Head
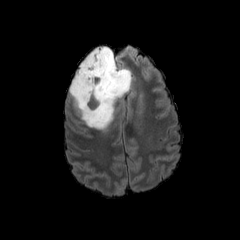
FLAIR MR image.
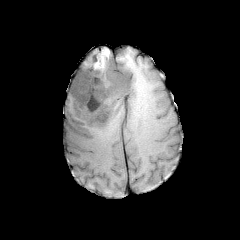
T1-weighted MR of the same slice.
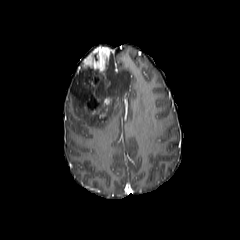
Post-contrast T1-weighted magnetic resonance of the same slice.
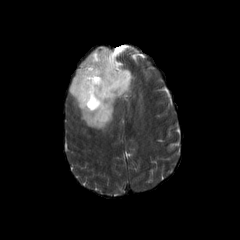
T2-weighted magnetic resonance.
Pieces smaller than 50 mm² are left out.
necrotic tumor core — (87,95,98,109)
peritumoral edema — (69,50,131,130)
enhancing tumor — (82,46,110,75), (84,91,111,118)